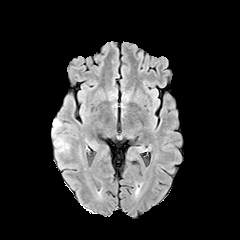
FLAIR MR.
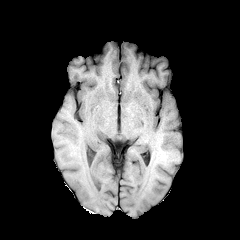
Same slice, T1-weighted magnetic resonance.
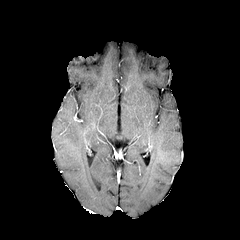
Post-contrast T1-weighted MRI of the same slice.
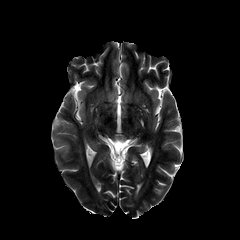
T2-weighted MR.
Head
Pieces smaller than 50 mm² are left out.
{
  "peritumoral_edema": [
    "x1=56 y1=140 x2=69 y2=148"
  ]
}